FLAIR MRI.
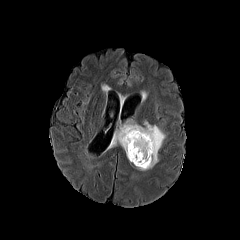
T1-weighted MRI.
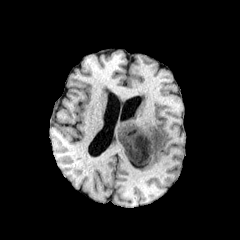
Post-contrast T1-weighted magnetic resonance.
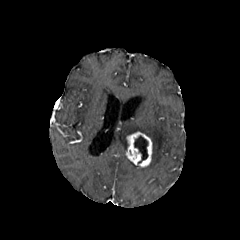
T2-weighted MR image.
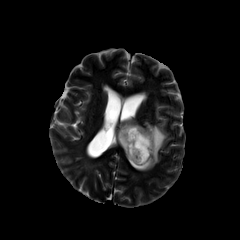
Axial plane. 240x240. Brain.
necrotic_tumor_core:
  - box=[134, 136, 148, 163]
peritumoral_edema:
  - box=[110, 121, 165, 170]
enhancing_tumor:
  - box=[126, 131, 152, 167]